FLAIR MR image.
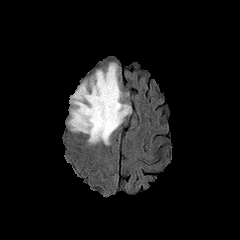
T1-weighted magnetic resonance.
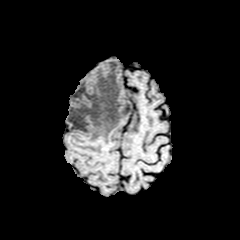
Post-contrast T1-weighted magnetic resonance.
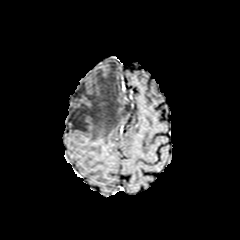
T2-weighted MR image.
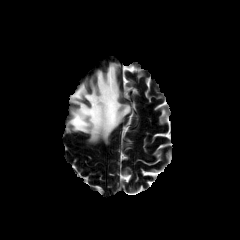
Brain, Axial plane, 240x240 px
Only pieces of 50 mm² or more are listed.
The largest peritumoral edema region is at 68:63:131:144.